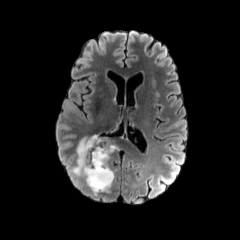
FLAIR magnetic resonance.
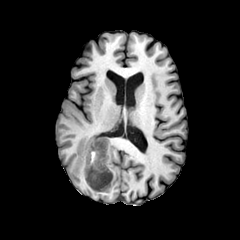
T1-weighted MRI.
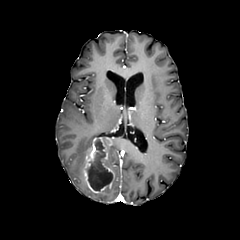
Post-contrast T1-weighted magnetic resonance of the same slice.
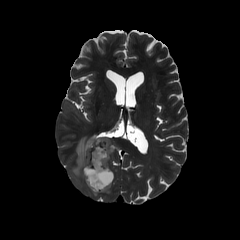
T2-weighted magnetic resonance.
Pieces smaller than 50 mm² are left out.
peritumoral edema — (108, 144, 117, 159), (73, 135, 98, 175)
enhancing tumor — (83, 137, 114, 193)
necrotic tumor core — (87, 139, 112, 190)